Axial plane
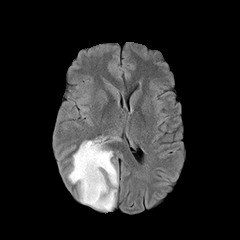
FLAIR MRI.
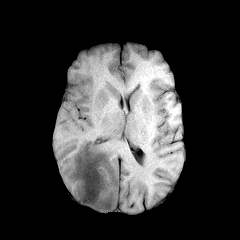
T1-weighted MR of the same slice.
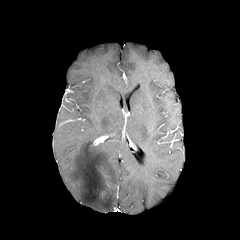
Post-contrast T1-weighted magnetic resonance of the same slice.
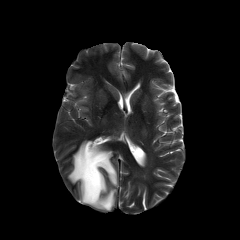
T2-weighted MR image.
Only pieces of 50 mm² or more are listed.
peritumoral edema — region(68, 140, 118, 211)